FLAIR MRI.
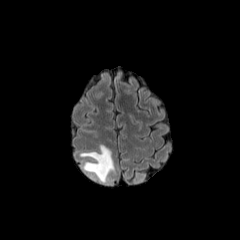
T1-weighted magnetic resonance.
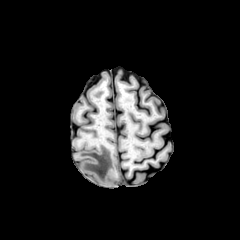
Post-contrast T1-weighted magnetic resonance.
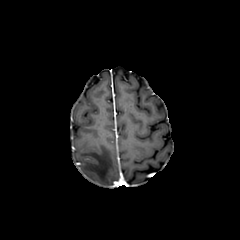
T2-weighted MRI.
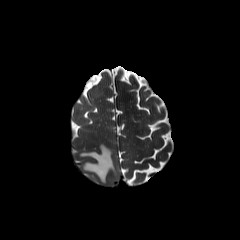
Head. Image size 240x240.
The peritumoral edema is at (left=80, top=145, right=115, bottom=183).